FLAIR magnetic resonance.
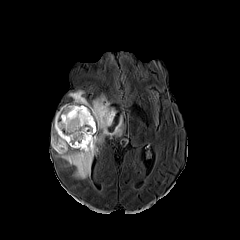
T1-weighted MR image.
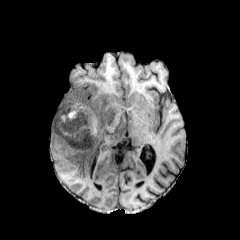
Post-contrast T1-weighted MR.
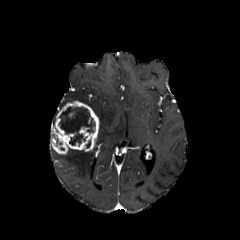
T2-weighted MR image.
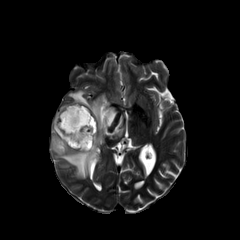
Axial slice
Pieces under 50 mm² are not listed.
2 peritumoral edema regions appear at 56,146,96,178; 68,90,123,142. The largest necrotic tumor core region is located at 59,107,95,145. The largest enhancing tumor region lies within 50,101,99,154.